FLAIR MR.
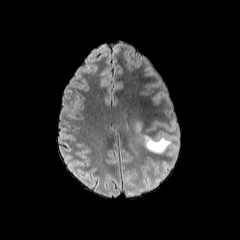
T1-weighted MRI.
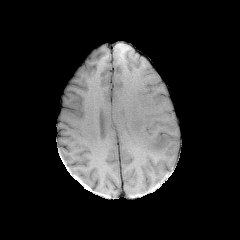
Post-contrast T1-weighted MRI.
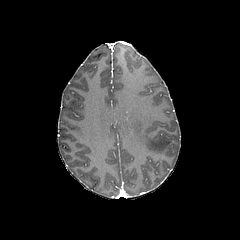
T2-weighted MR image.
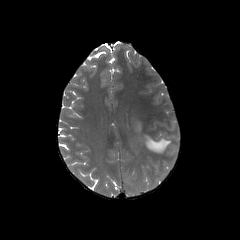
Axial slice | 240x240 px
The peritumoral edema is at 134,122,170,153.